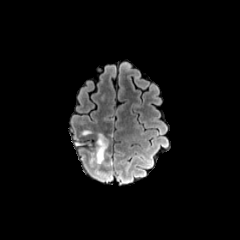
FLAIR MRI.
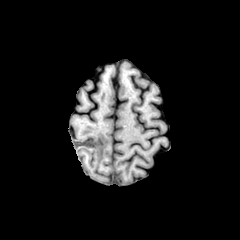
Same slice, T1-weighted magnetic resonance.
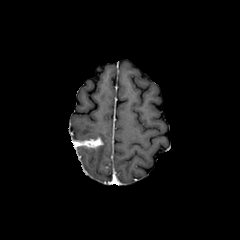
Post-contrast T1-weighted magnetic resonance.
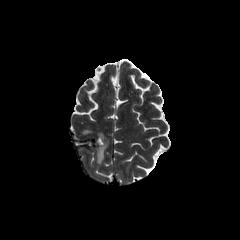
T2-weighted MRI of the same slice.
240x240 px
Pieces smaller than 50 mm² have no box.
peritumoral edema = <box>95,133,107,163</box>
enhancing tumor = <box>74,137,103,147</box>